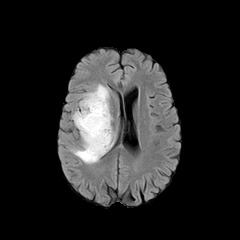
FLAIR magnetic resonance.
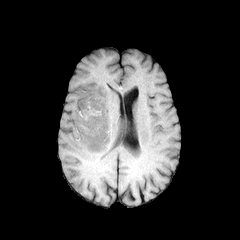
T1-weighted magnetic resonance.
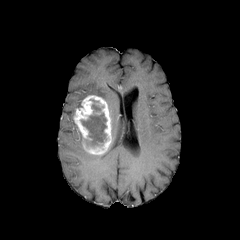
Same slice, post-contrast T1-weighted MR image.
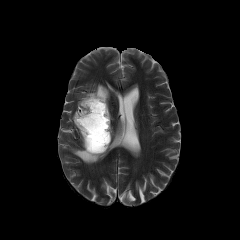
T2-weighted MR.
240x240 px, Axial view, Head
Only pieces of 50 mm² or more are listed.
{"enhancing_tumor": ["left=73, top=95, right=111, bottom=154"], "necrotic_tumor_core": ["left=81, top=100, right=106, bottom=146"], "peritumoral_edema": ["left=79, top=84, right=109, bottom=111", "left=108, top=127, right=115, bottom=150", "left=71, top=132, right=105, bottom=163"]}